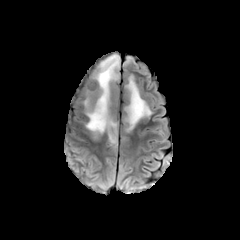
FLAIR MRI.
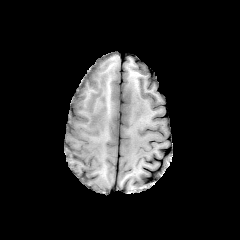
T1-weighted magnetic resonance of the same slice.
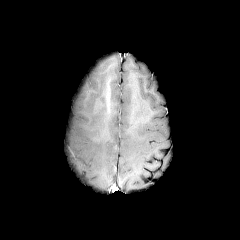
Post-contrast T1-weighted MR.
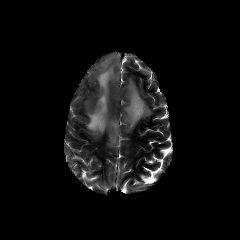
T2-weighted magnetic resonance of the same slice.
Head
<segmentation>
  <peritumoral_edema>x1=84, y1=54, x2=119, y2=146; x1=124, y1=73, x2=151, y2=131</peritumoral_edema>
</segmentation>